Axial view; Brain
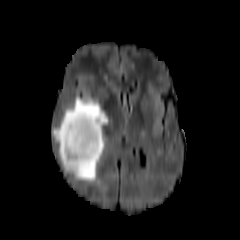
FLAIR MRI.
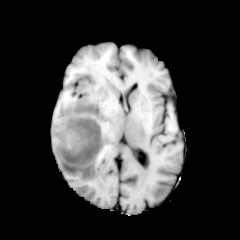
T1-weighted MR of the same slice.
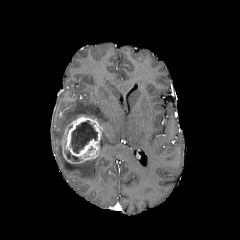
Post-contrast T1-weighted MR of the same slice.
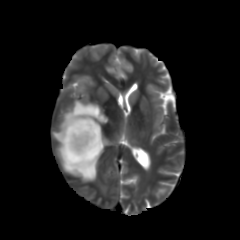
T2-weighted MR image.
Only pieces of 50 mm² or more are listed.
The 2 largest necrotic tumor core regions are bounded by [69,121,97,153], [64,150,80,161]. The 2 largest peritumoral edema regions appear at [62,154,100,180], [53,95,108,142]. The enhancing tumor appears at [60,114,101,163].